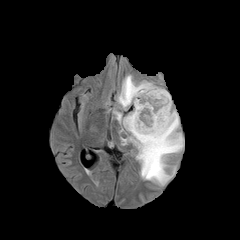
FLAIR magnetic resonance.
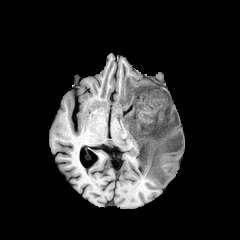
T1-weighted magnetic resonance of the same slice.
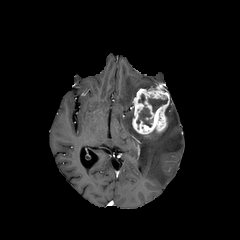
Post-contrast T1-weighted magnetic resonance.
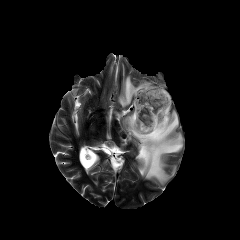
Same slice, T2-weighted magnetic resonance.
240x240 px, Axial view
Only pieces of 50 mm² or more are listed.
The 2 largest peritumoral edema regions are bounded by (x1=118, y1=75, x2=155, y2=108), (x1=113, y1=100, x2=184, y2=185). The 2 largest necrotic tumor core regions are located at (x1=148, y1=98, x2=167, y2=112), (x1=137, y1=108, x2=151, y2=126). The enhancing tumor is bounded by (x1=132, y1=84, x2=170, y2=136).